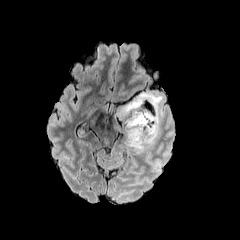
FLAIR MRI.
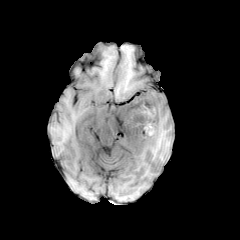
Same slice, T1-weighted MRI.
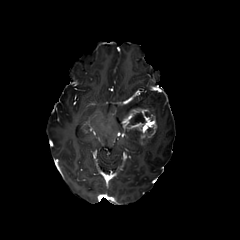
Post-contrast T1-weighted MRI of the same slice.
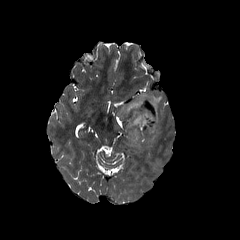
Same slice, T2-weighted magnetic resonance.
Head
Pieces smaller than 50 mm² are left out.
peritumoral edema: (left=117, top=91, right=163, bottom=151) | necrotic tumor core: (left=144, top=127, right=153, bottom=139), (left=129, top=112, right=145, bottom=124) | enhancing tumor: (left=123, top=107, right=157, bottom=145)